Brain; Slice 112/155; Image width 240 mm, 1.00 mm slice spacing
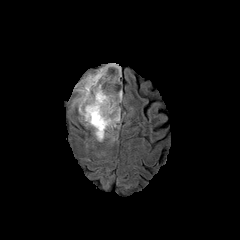
FLAIR MR.
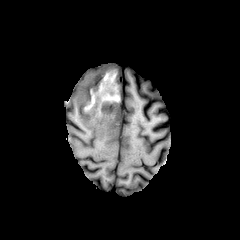
Same slice, T1-weighted MR.
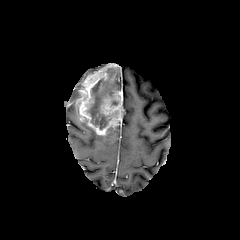
Post-contrast T1-weighted MRI.
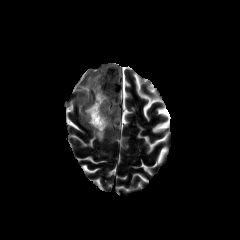
T2-weighted MRI of the same slice.
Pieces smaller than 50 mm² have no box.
Findings:
* peritumoral edema: {"x1": 93, "y1": 131, "x2": 116, "y2": 141}
* enhancing tumor: {"x1": 76, "y1": 63, "x2": 124, "y2": 135}
* necrotic tumor core: {"x1": 88, "y1": 68, "x2": 119, "y2": 129}